Image size 240x240 | Head
FLAIR MRI.
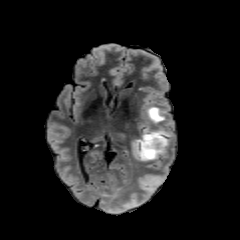
T1-weighted MR.
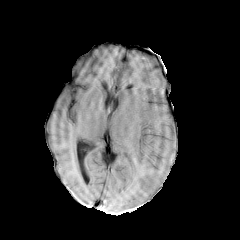
Post-contrast T1-weighted MR.
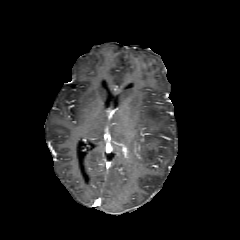
T2-weighted MR image.
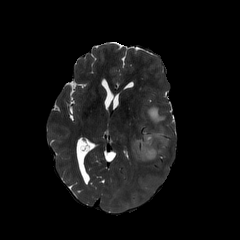
peritumoral_edema:
  - [133, 106, 169, 160]
enhancing_tumor:
  - [136, 140, 158, 153]